FLAIR MR.
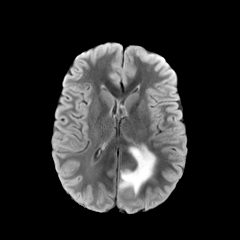
T1-weighted magnetic resonance.
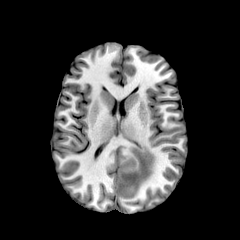
Post-contrast T1-weighted MR image.
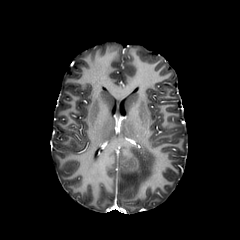
T2-weighted MRI.
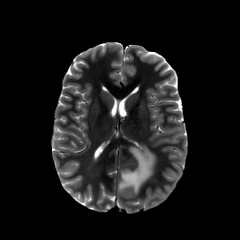
240x240 px; Axial plane; Brain
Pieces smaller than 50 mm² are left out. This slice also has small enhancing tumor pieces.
{
  "peritumoral_edema": [
    "left=118, top=145, right=155, bottom=194"
  ],
  "necrotic_tumor_core": [
    "left=121, top=152, right=138, bottom=171"
  ]
}